Axial plane | Slice 76 of 155
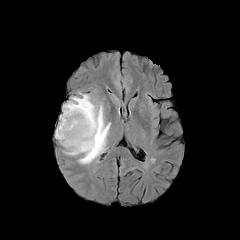
FLAIR MR.
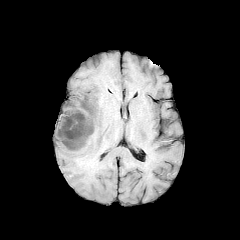
T1-weighted magnetic resonance.
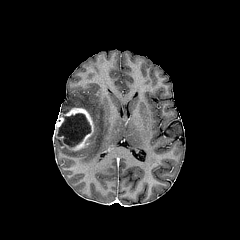
Post-contrast T1-weighted magnetic resonance of the same slice.
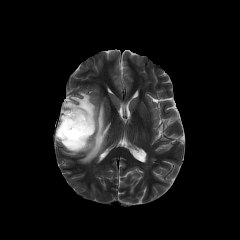
T2-weighted MRI.
enhancing tumor: x1=55 y1=107 x2=94 y2=150 | necrotic tumor core: x1=56 y1=113 x2=90 y2=147 | peritumoral edema: x1=57 y1=92 x2=110 y2=163